Slice 31/155, Head
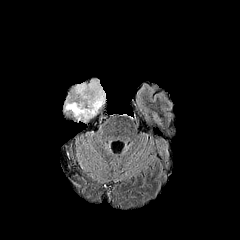
FLAIR MR.
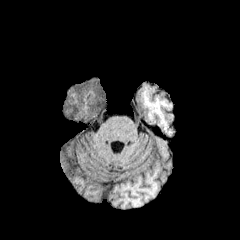
T1-weighted magnetic resonance of the same slice.
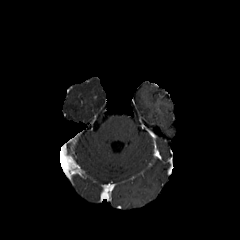
Post-contrast T1-weighted MR image.
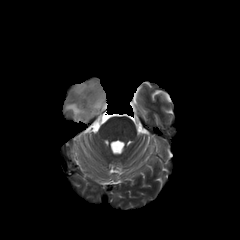
T2-weighted MRI.
Segmented structures:
* peritumoral edema: box(65, 80, 105, 121)